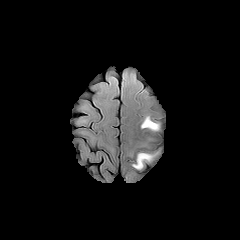
FLAIR MRI.
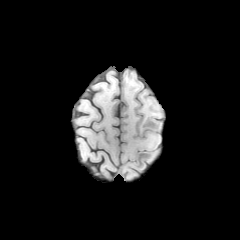
T1-weighted magnetic resonance of the same slice.
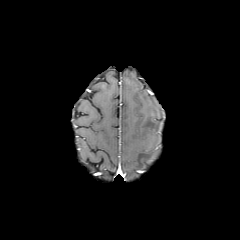
Post-contrast T1-weighted MRI.
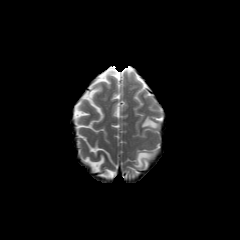
T2-weighted MR of the same slice.
Head; Image size 240x240
peritumoral edema — (x1=141, y1=116, x2=158, y2=130), (x1=133, y1=150, x2=159, y2=168)